Head.
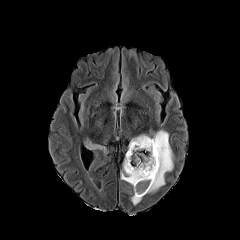
FLAIR magnetic resonance.
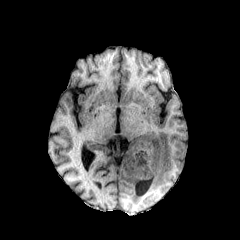
T1-weighted MR image.
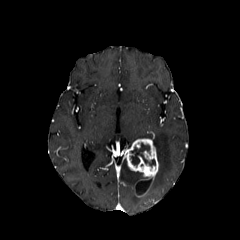
Post-contrast T1-weighted MR.
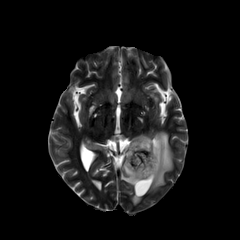
Same slice, T2-weighted MR.
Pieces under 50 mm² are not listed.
The enhancing tumor lies within (x1=125, y1=138, x2=158, y2=197). 4 peritumoral edema regions appear at (x1=148, y1=130, x2=173, y2=192), (x1=129, y1=134, x2=149, y2=147), (x1=121, y1=159, x2=142, y2=204), (x1=86, y1=141, x2=103, y2=151). The 2 largest necrotic tumor core regions are bounded by (x1=136, y1=179, x2=151, y2=195), (x1=131, y1=143, x2=155, y2=166).